FLAIR MR image.
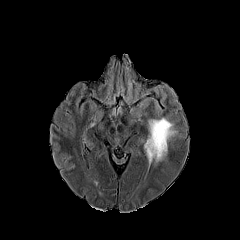
T1-weighted MRI.
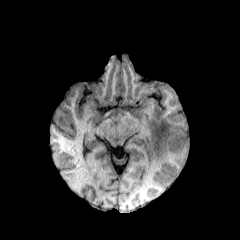
Post-contrast T1-weighted MRI.
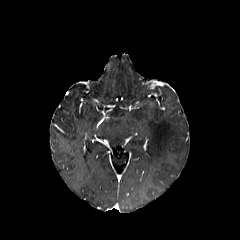
T2-weighted MR image.
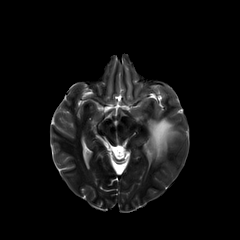
Brain
peritumoral edema: (146,118,177,163)